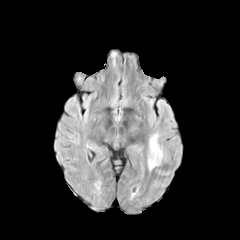
FLAIR MR image.
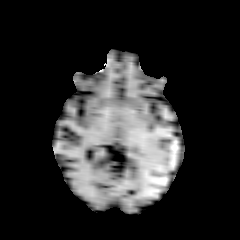
Same slice, T1-weighted MRI.
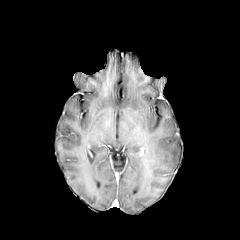
Post-contrast T1-weighted MR.
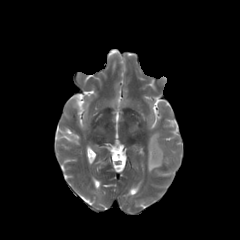
Same slice, T2-weighted MR.
Axial slice
The peritumoral edema appears at 148:132:164:170.